Slice index 110
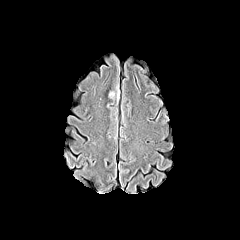
FLAIR MRI.
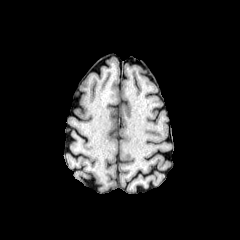
Same slice, T1-weighted MR.
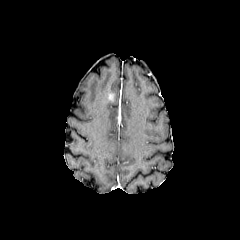
Same slice, post-contrast T1-weighted MR.
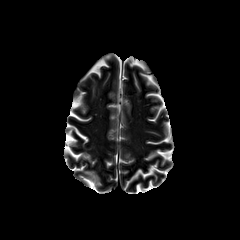
T2-weighted MR of the same slice.
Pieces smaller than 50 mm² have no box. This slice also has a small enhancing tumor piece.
The peritumoral edema is bounded by <box>107,85,117,100</box>.